Head | Axial plane
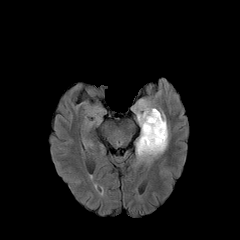
FLAIR magnetic resonance.
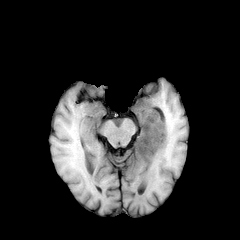
T1-weighted MRI.
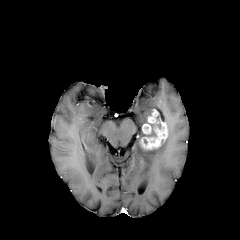
Post-contrast T1-weighted MR.
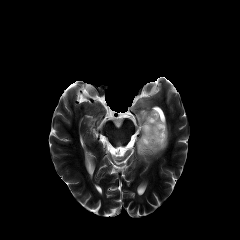
Same slice, T2-weighted MRI.
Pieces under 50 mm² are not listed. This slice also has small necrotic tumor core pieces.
The largest peritumoral edema region appears at x1=133, y1=100, x2=168, y2=162. The largest enhancing tumor region is at x1=140, y1=110, x2=167, y2=150.